240x240. Head. Slice 85 of 155. Image width 240 mm, 1.00 mm slice spacing. Axial slice.
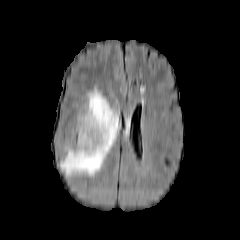
FLAIR magnetic resonance.
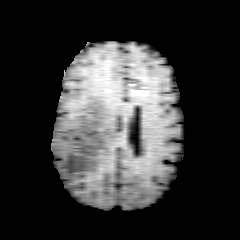
Same slice, T1-weighted MR image.
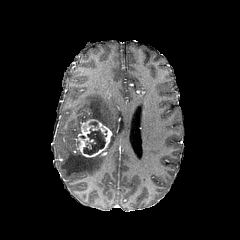
Post-contrast T1-weighted MR of the same slice.
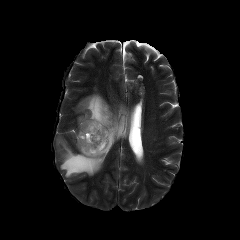
T2-weighted MR.
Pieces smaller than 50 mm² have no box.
peritumoral edema: bounding box x1=78 y1=90 x2=120 y2=153, x1=60 y1=146 x2=105 y2=176
enhancing tumor: bounding box x1=77 y1=119 x2=112 y2=157
necrotic tumor core: bounding box x1=83 y1=128 x2=106 y2=154